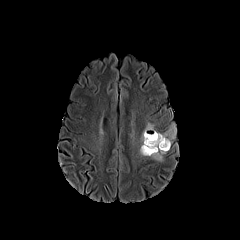
FLAIR MR.
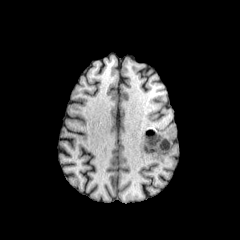
T1-weighted magnetic resonance of the same slice.
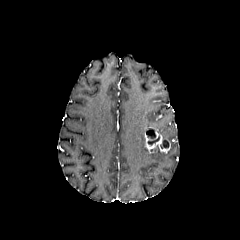
Same slice, post-contrast T1-weighted MR image.
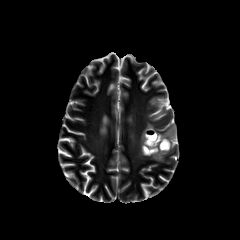
T2-weighted MRI.
Axial plane, Head
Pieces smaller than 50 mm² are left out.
enhancing tumor: l=144, t=127, r=170, b=153
peritumoral edema: l=161, t=125, r=176, b=143; l=140, t=123, r=164, b=161
necrotic tumor core: l=160, t=140, r=169, b=148; l=146, t=128, r=159, b=144